Slice 77/155, 240x240
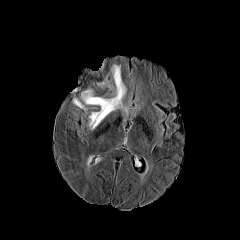
FLAIR MR.
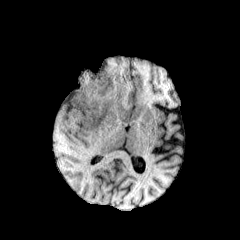
T1-weighted MR image.
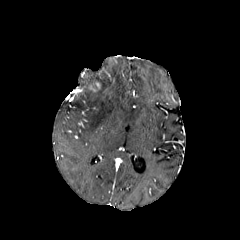
Post-contrast T1-weighted MRI.
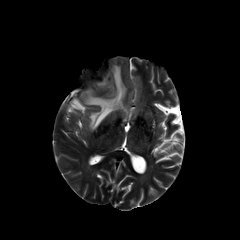
Same slice, T2-weighted MRI.
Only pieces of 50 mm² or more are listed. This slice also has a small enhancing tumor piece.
peritumoral_edema:
  - bbox=[81, 65, 127, 130]
  - bbox=[73, 98, 85, 109]